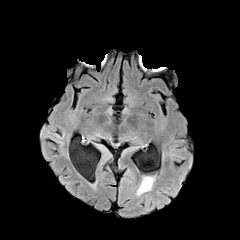
FLAIR MRI.
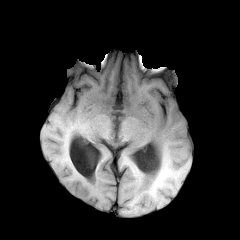
T1-weighted magnetic resonance.
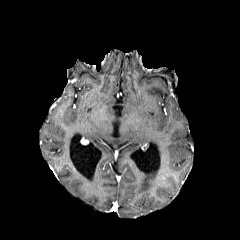
Post-contrast T1-weighted MRI.
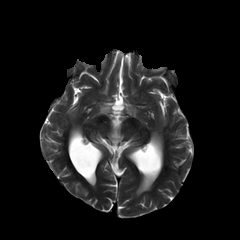
T2-weighted MR image of the same slice.
peritumoral edema at {"x1": 137, "y1": 176, "x2": 155, "y2": 195}